Slice index 78; Image size 240x240; Brain
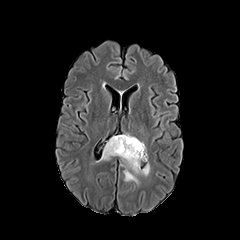
FLAIR MRI.
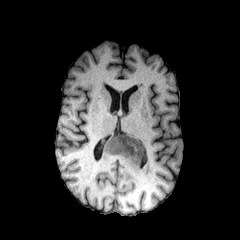
Same slice, T1-weighted MR.
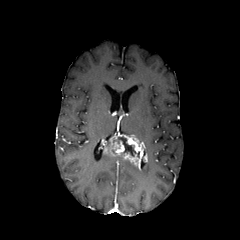
Same slice, post-contrast T1-weighted MR image.
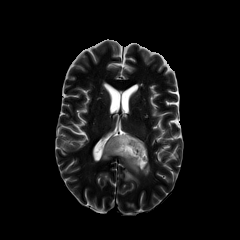
T2-weighted MR of the same slice.
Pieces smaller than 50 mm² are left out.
{
  "necrotic_tumor_core": [
    "117 137 136 156"
  ],
  "enhancing_tumor": [
    "104 134 147 169"
  ],
  "peritumoral_edema": [
    "99 150 112 160",
    "118 156 149 183"
  ]
}